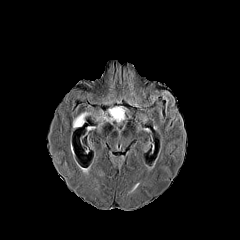
FLAIR magnetic resonance.
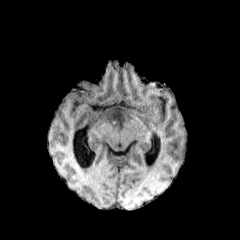
T1-weighted MR.
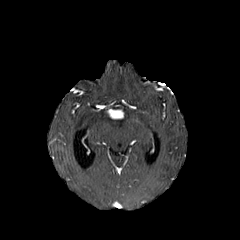
Post-contrast T1-weighted MR of the same slice.
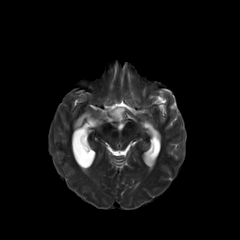
T2-weighted MR.
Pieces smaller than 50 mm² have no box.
Findings:
• peritumoral edema: [x1=73, y1=112, x2=90, y2=127], [x1=97, y1=111, x2=113, y2=122]
• enhancing tumor: [x1=107, y1=108, x2=124, y2=119]